FLAIR MRI.
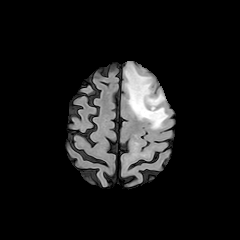
T1-weighted MR.
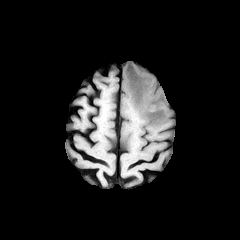
Post-contrast T1-weighted magnetic resonance.
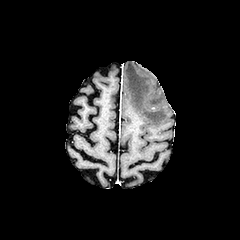
T2-weighted magnetic resonance.
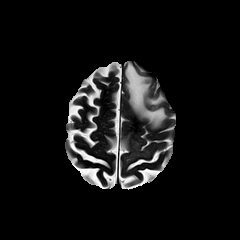
peritumoral_edema:
  - (x1=125, y1=62, x2=167, y2=128)